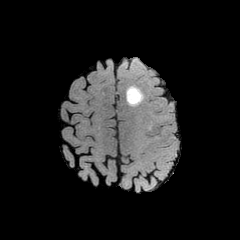
FLAIR MRI.
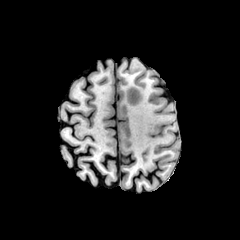
T1-weighted MRI.
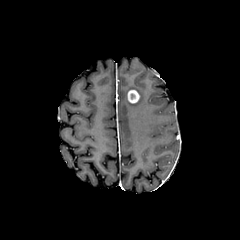
Post-contrast T1-weighted MR of the same slice.
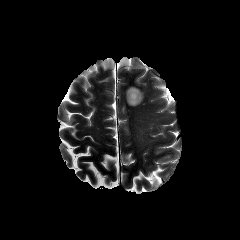
T2-weighted MR image.
Brain
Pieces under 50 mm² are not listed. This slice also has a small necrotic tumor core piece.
enhancing tumor = [127, 90, 139, 103]
peritumoral edema = [126, 86, 143, 106]